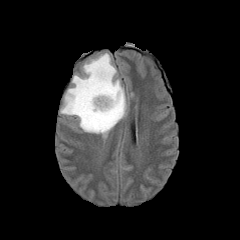
FLAIR MR image.
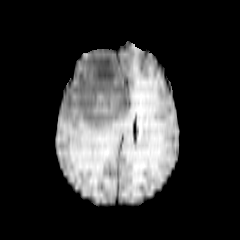
T1-weighted MR of the same slice.
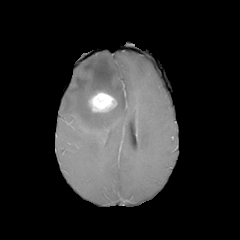
Same slice, post-contrast T1-weighted MR image.
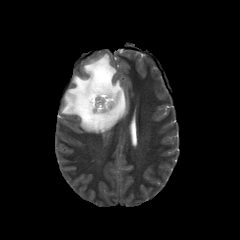
Same slice, T2-weighted magnetic resonance.
Head
enhancing tumor — x1=87, y1=91, x2=117, y2=112
peritumoral edema — x1=60, y1=53, x2=126, y2=137